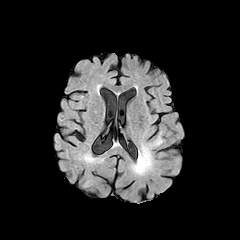
FLAIR MR image.
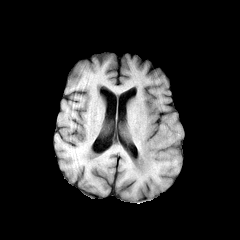
T1-weighted magnetic resonance.
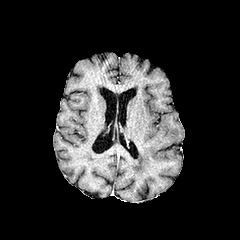
Post-contrast T1-weighted MRI of the same slice.
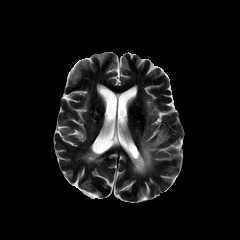
T2-weighted MR.
Head
The peritumoral edema is located at l=132, t=131, r=163, b=174.